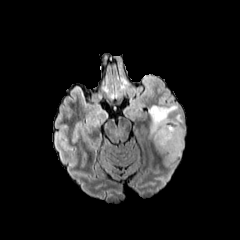
FLAIR MRI.
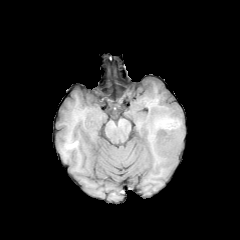
T1-weighted MR image.
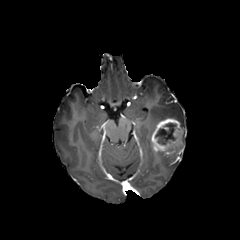
Post-contrast T1-weighted MR image.
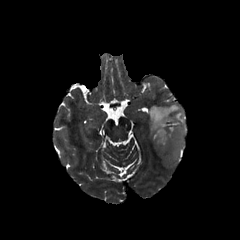
Same slice, T2-weighted MR image.
Head.
enhancing tumor at x1=151, y1=118, x2=184, y2=160
peritumoral edema at x1=149, y1=104, x2=184, y2=140; x1=166, y1=155, x2=176, y2=160
necrotic tumor core at x1=155, y1=123, x2=176, y2=144